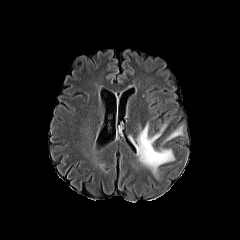
FLAIR MR.
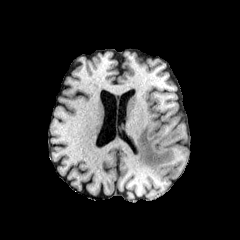
T1-weighted MR image.
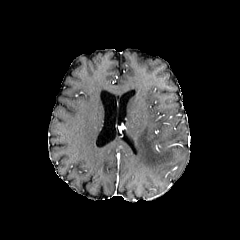
Post-contrast T1-weighted MR image.
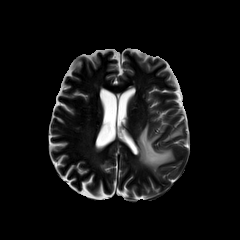
T2-weighted MR image.
240x240 px
peritumoral_edema:
  - (x1=161, y1=126, x2=182, y2=144)
  - (x1=136, y1=121, x2=176, y2=178)